Brain, 240x240 px, Axial view, Image covers 240 mm x 240 mm
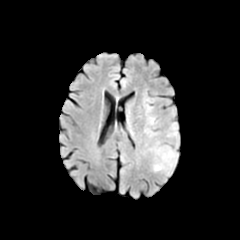
FLAIR magnetic resonance.
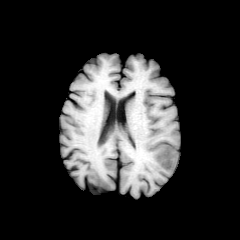
T1-weighted MR image of the same slice.
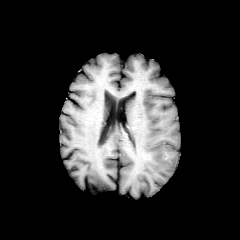
Post-contrast T1-weighted MR.
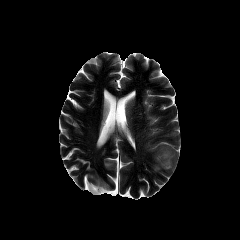
T2-weighted magnetic resonance of the same slice.
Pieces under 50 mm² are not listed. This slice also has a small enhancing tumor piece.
<segmentation>
  <peritumoral_edema>152, 145, 177, 173; 149, 116, 155, 124</peritumoral_edema>
</segmentation>